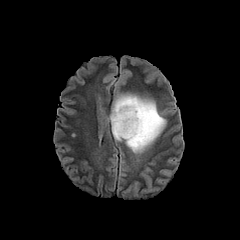
FLAIR magnetic resonance.
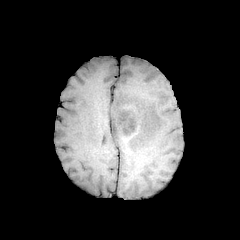
T1-weighted magnetic resonance.
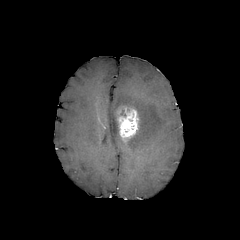
Same slice, post-contrast T1-weighted MR.
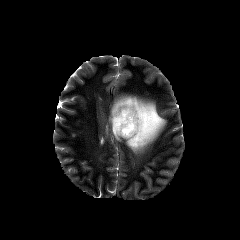
T2-weighted magnetic resonance.
Brain; Axial view
enhancing_tumor:
  - 116:106:139:139
peritumoral_edema:
  - 109:94:166:153